Slice index 79; Image width 240 mm, 1.00 mm slice spacing
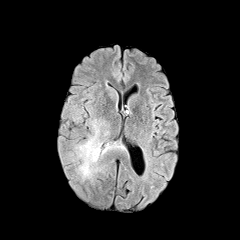
FLAIR MR.
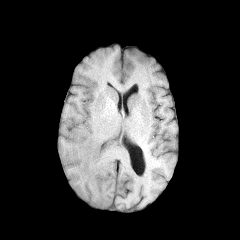
T1-weighted magnetic resonance.
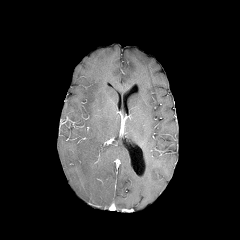
Post-contrast T1-weighted magnetic resonance of the same slice.
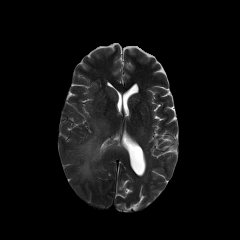
Same slice, T2-weighted MRI.
* peritumoral edema: box=[75, 119, 124, 180]